Head | 240x240 | Axial view | Slice 103/155
FLAIR MR image.
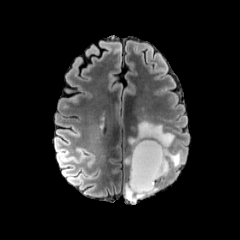
T1-weighted MR.
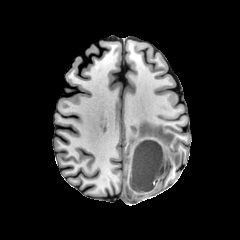
Post-contrast T1-weighted MR image.
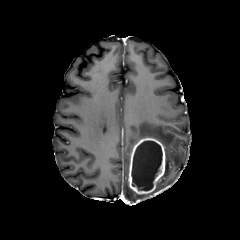
T2-weighted magnetic resonance.
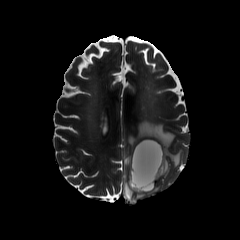
peritumoral edema — x1=124, y1=154, x2=130, y2=172; x1=124, y1=182, x2=160, y2=202; x1=128, y1=121, x2=182, y2=177
necrotic tumor core — x1=131, y1=141, x2=162, y2=190
enhancing tumor — x1=128, y1=137, x2=165, y2=194